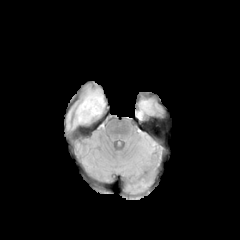
FLAIR MR.
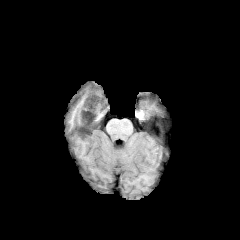
Same slice, T1-weighted magnetic resonance.
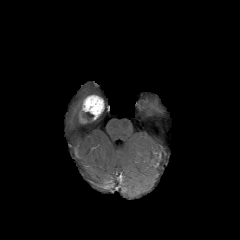
Post-contrast T1-weighted MR.
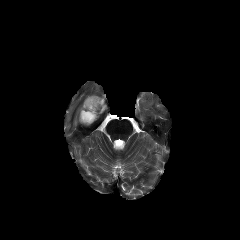
T2-weighted MRI.
240x240
Annotated regions:
• peritumoral edema: (67, 86, 102, 129)
• necrotic tumor core: (83, 112, 93, 118)
• enhancing tumor: (78, 93, 107, 124)